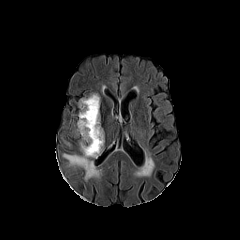
FLAIR MR.
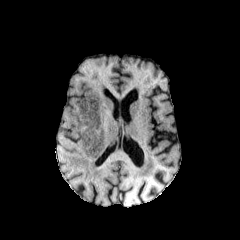
T1-weighted MRI.
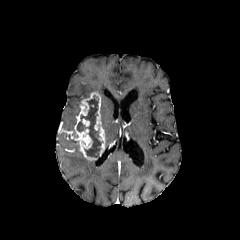
Post-contrast T1-weighted MRI.
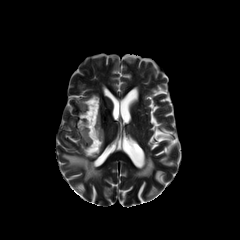
T2-weighted MR.
Axial slice.
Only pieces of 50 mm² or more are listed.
necrotic tumor core at (x1=76, y1=96, x2=101, y2=157)
peritumoral edema at (x1=62, y1=153, x2=101, y2=181)
enhancing tumor at (x1=75, y1=92, x2=104, y2=160)